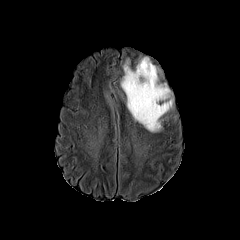
FLAIR MR image.
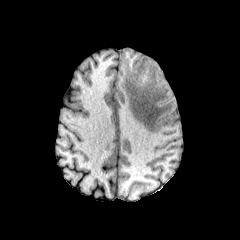
T1-weighted magnetic resonance.
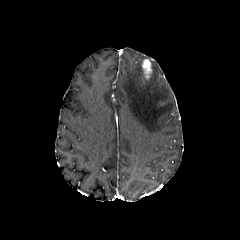
Post-contrast T1-weighted MR.
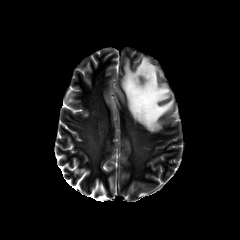
T2-weighted MR image of the same slice.
Head, Axial view, Image size 240x240
peritumoral_edema:
  - (x1=121, y1=57, x2=173, y2=132)
enhancing_tumor:
  - (x1=142, y1=59, x2=152, y2=78)